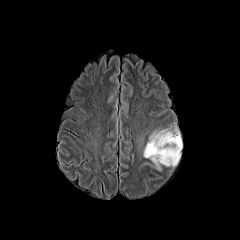
FLAIR MR image.
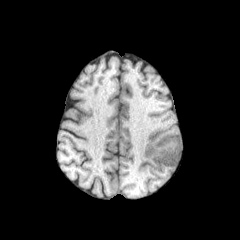
Same slice, T1-weighted MRI.
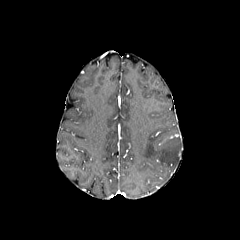
Same slice, post-contrast T1-weighted MR image.
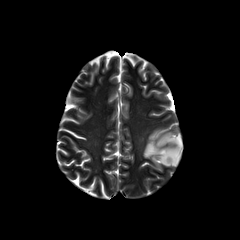
T2-weighted MR image.
Axial slice.
peritumoral_edema:
  - (143,128,182,169)